FLAIR MRI.
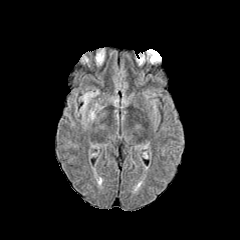
T1-weighted MRI.
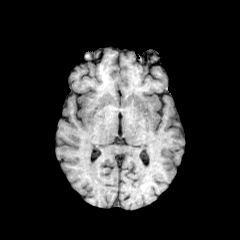
Post-contrast T1-weighted magnetic resonance.
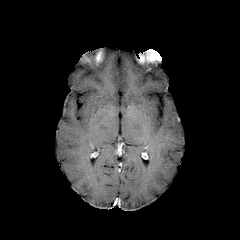
T2-weighted magnetic resonance.
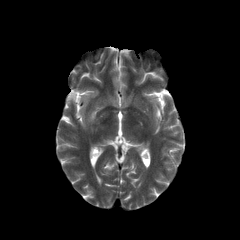
Brain.
peritumoral edema = 80:90:103:125